Axial slice | 240x240 px
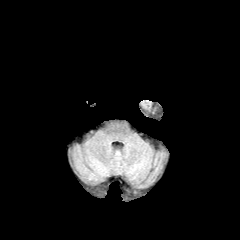
FLAIR MR image.
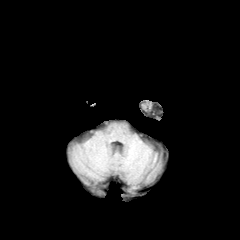
Same slice, T1-weighted magnetic resonance.
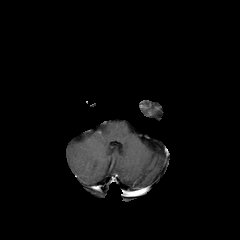
Same slice, post-contrast T1-weighted MR image.
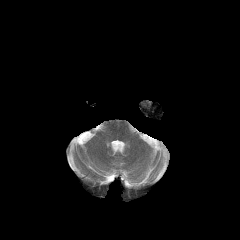
T2-weighted magnetic resonance.
peritumoral edema = 140,100,152,106